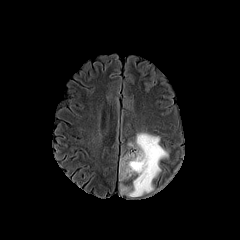
FLAIR MR.
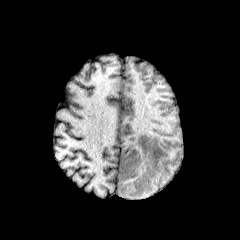
T1-weighted magnetic resonance of the same slice.
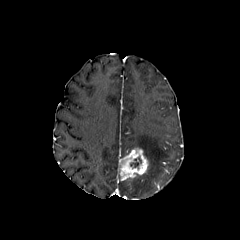
Post-contrast T1-weighted MRI.
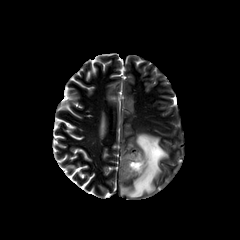
Same slice, T2-weighted MR image.
240x240 px. Brain.
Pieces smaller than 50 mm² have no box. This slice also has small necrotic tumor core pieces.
Findings:
• peritumoral edema: 120, 132, 168, 197
• enhancing tumor: 119, 148, 148, 180